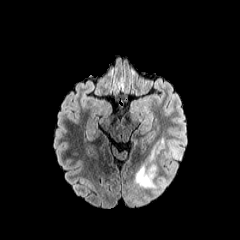
FLAIR MR.
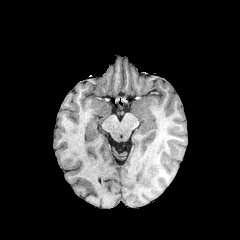
T1-weighted MR of the same slice.
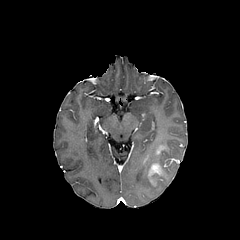
Post-contrast T1-weighted magnetic resonance.
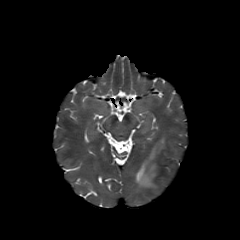
T2-weighted magnetic resonance.
Head
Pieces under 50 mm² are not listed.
peritumoral edema — l=134, t=138, r=165, b=188
enhancing tumor — l=149, t=179, r=159, b=186; l=148, t=164, r=162, b=177